Image size 240x240; Head
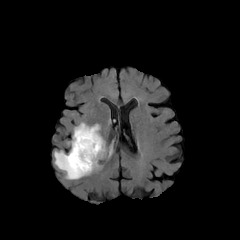
FLAIR MRI.
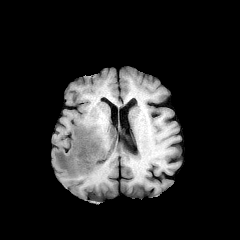
T1-weighted MR of the same slice.
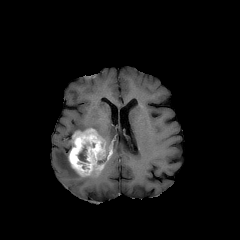
Same slice, post-contrast T1-weighted magnetic resonance.
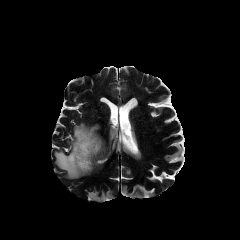
T2-weighted MR of the same slice.
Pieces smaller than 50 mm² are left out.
peritumoral edema — [54, 150, 81, 179], [73, 122, 100, 135]
necrotic tumor core — [78, 147, 86, 161]
enhancing tumor — [68, 128, 107, 176]